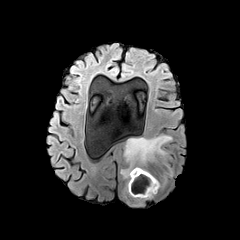
FLAIR MRI.
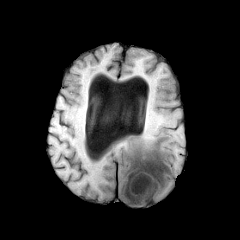
T1-weighted MR.
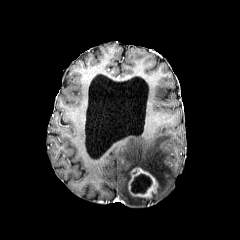
Post-contrast T1-weighted MR.
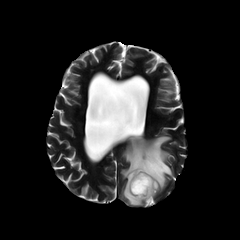
Same slice, T2-weighted MR image.
Axial view
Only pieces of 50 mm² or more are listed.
Findings:
• enhancing tumor: 128:167:158:198
• peritumoral edema: 120:135:172:205
• necrotic tumor core: 131:174:151:193